FLAIR magnetic resonance.
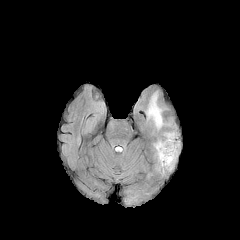
T1-weighted magnetic resonance.
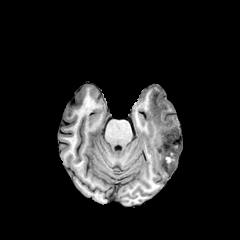
Post-contrast T1-weighted MR image.
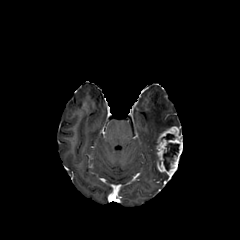
T2-weighted MR.
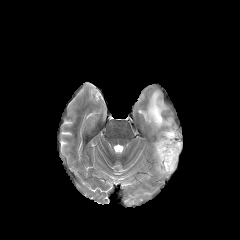
Axial plane, Head
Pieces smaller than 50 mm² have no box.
{"peritumoral_edema": ["bbox=[147, 92, 170, 129]"], "enhancing_tumor": ["bbox=[156, 126, 182, 175]"], "necrotic_tumor_core": ["bbox=[161, 134, 175, 140]", "bbox=[163, 143, 179, 170]"]}